FLAIR MR.
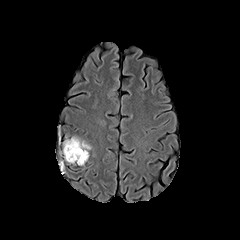
T1-weighted magnetic resonance.
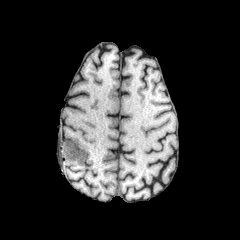
Post-contrast T1-weighted magnetic resonance.
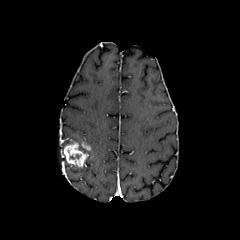
T2-weighted MRI.
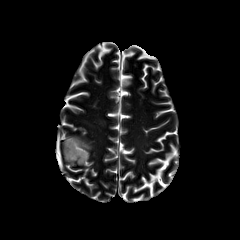
Image size 240x240; Brain
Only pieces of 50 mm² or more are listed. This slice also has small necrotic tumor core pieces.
The largest enhancing tumor region is at rect(63, 139, 88, 166). The largest peritumoral edema region lies within rect(71, 136, 91, 153).